Axial plane | Slice 52/155
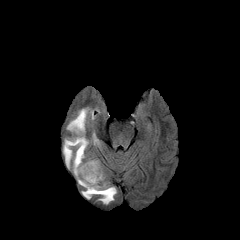
FLAIR MR image.
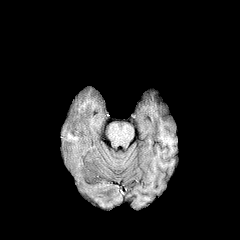
T1-weighted MR image.
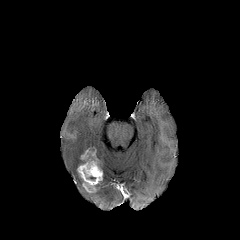
Same slice, post-contrast T1-weighted MR image.
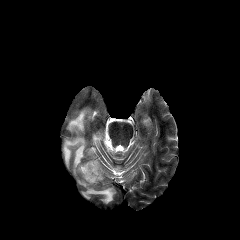
T2-weighted MRI.
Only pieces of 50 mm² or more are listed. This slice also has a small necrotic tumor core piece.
Annotated regions:
- peritumoral edema: left=82, top=171, right=116, bottom=204; left=63, top=107, right=94, bottom=185; left=91, top=132, right=100, bottom=147
- enhancing tumor: left=77, top=150, right=102, bottom=192